Head, Axial slice, Slice index 105
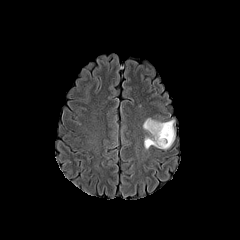
FLAIR magnetic resonance.
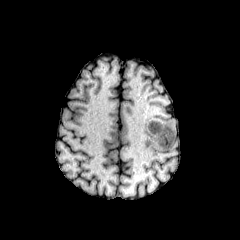
T1-weighted MR.
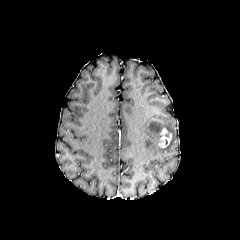
Post-contrast T1-weighted MRI.
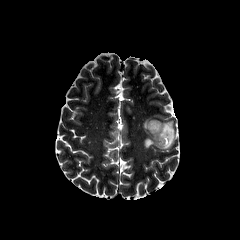
T2-weighted MR image.
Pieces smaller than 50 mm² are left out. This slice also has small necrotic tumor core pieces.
The enhancing tumor appears at 158,128,171,147. The peritumoral edema is located at 143,118,175,149.